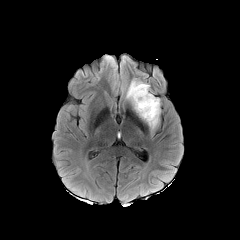
FLAIR MR image.
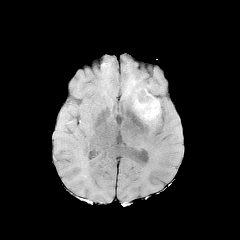
T1-weighted MR image of the same slice.
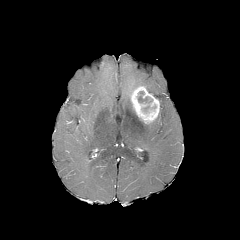
Post-contrast T1-weighted MR.
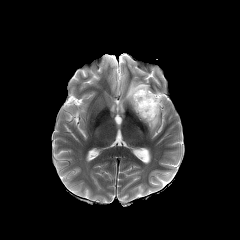
T2-weighted MRI.
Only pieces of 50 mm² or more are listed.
enhancing tumor: 131,86,159,123 | peritumoral edema: 148,108,160,130; 126,79,149,101 | necrotic tumor core: 137,91,156,113